Axial slice; Brain
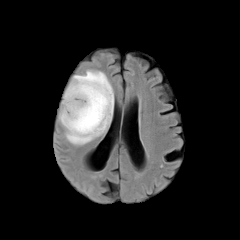
FLAIR MR.
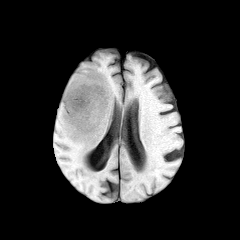
T1-weighted MR.
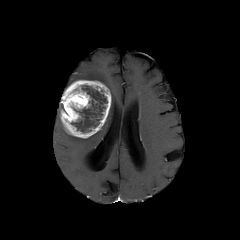
Post-contrast T1-weighted magnetic resonance.
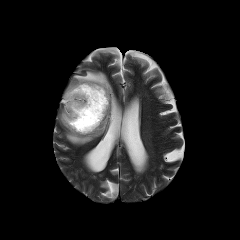
Same slice, T2-weighted magnetic resonance.
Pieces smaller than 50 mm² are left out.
necrotic tumor core: <bbox>71, 85, 107, 132</bbox> | enhancing tumor: <bbox>60, 80, 111, 138</bbox> | peritumoral edema: <bbox>65, 70, 114, 145</bbox>